Brain
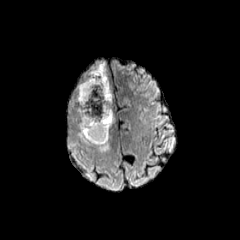
FLAIR magnetic resonance.
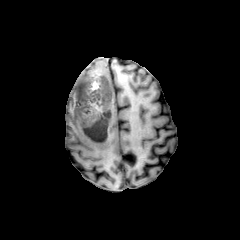
Same slice, T1-weighted MRI.
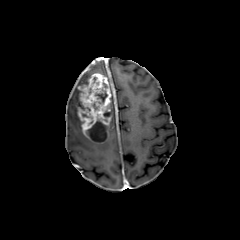
Post-contrast T1-weighted MRI.
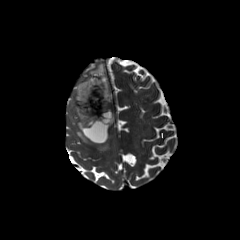
T2-weighted MRI.
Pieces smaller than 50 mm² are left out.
peritumoral edema: (left=75, top=87, right=109, bottom=151), (left=89, top=62, right=107, bottom=77) | enhancing tumor: (left=78, top=73, right=112, bottom=143) | necrotic tumor core: (left=95, top=91, right=107, bottom=103), (left=87, top=121, right=106, bottom=142)